Axial view.
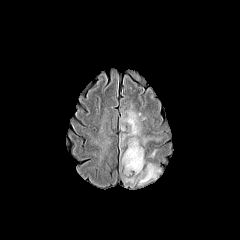
FLAIR MR.
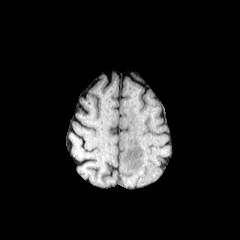
T1-weighted MRI.
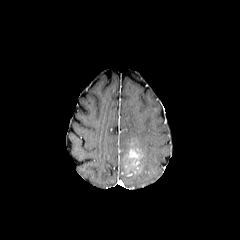
Same slice, post-contrast T1-weighted magnetic resonance.
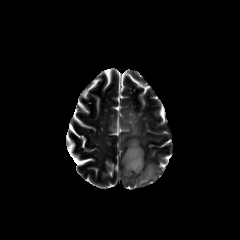
T2-weighted MR.
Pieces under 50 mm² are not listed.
The 4 largest peritumoral edema regions are bounded by (left=138, top=161, right=161, bottom=185), (left=140, top=135, right=162, bottom=145), (left=119, top=101, right=146, bottom=155), (left=122, top=176, right=135, bottom=184). The enhancing tumor is located at (left=123, top=140, right=143, bottom=174).